FLAIR magnetic resonance.
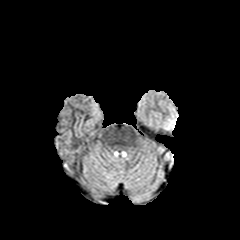
T1-weighted magnetic resonance.
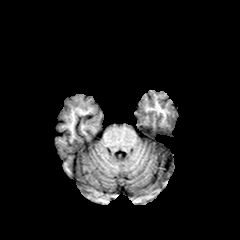
Post-contrast T1-weighted MR.
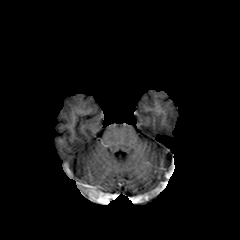
T2-weighted MRI.
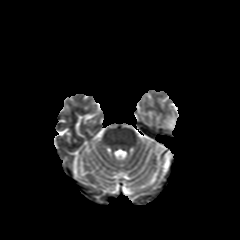
Brain. Image size 240x240.
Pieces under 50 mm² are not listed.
Annotated regions:
• peritumoral edema: [168,119,176,128]